FLAIR MR image.
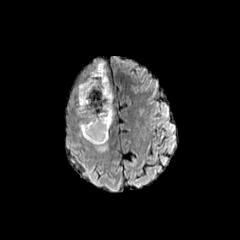
T1-weighted MR image.
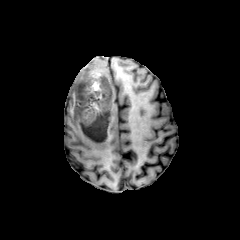
Post-contrast T1-weighted MRI.
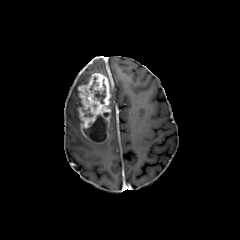
T2-weighted MR image.
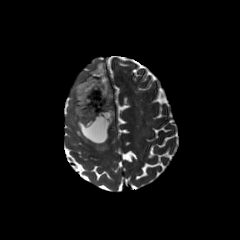
Axial view. 240x240 px. Head.
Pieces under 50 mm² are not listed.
necrotic tumor core = 82 108 92 116, 89 76 105 103, 83 115 106 142
peritumoral edema = 91 141 107 151, 111 87 113 123, 75 61 107 118
enhancing tumor = 78 73 111 143